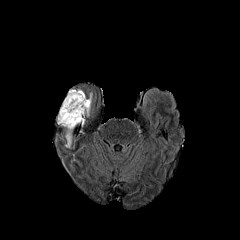
FLAIR MRI.
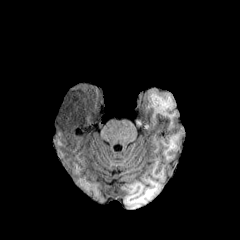
T1-weighted MR image.
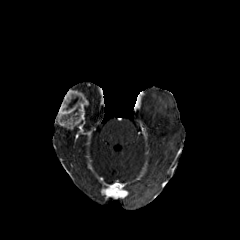
Post-contrast T1-weighted MR image.
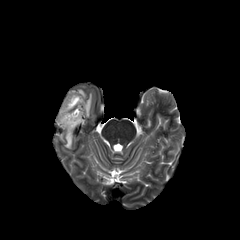
T2-weighted MRI.
Image size 240x240.
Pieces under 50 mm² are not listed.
{
  "enhancing_tumor": [
    "x1=56 y1=89 x2=89 y2=130"
  ],
  "peritumoral_edema": [
    "x1=86 y1=93 x2=92 y2=116",
    "x1=64 y1=130 x2=72 y2=148"
  ],
  "necrotic_tumor_core": [
    "x1=66 y1=96 x2=78 y2=109"
  ]
}